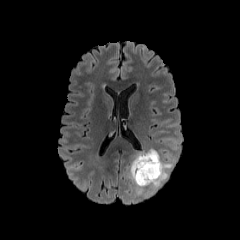
FLAIR MRI.
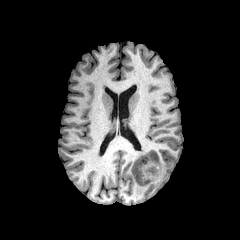
T1-weighted magnetic resonance.
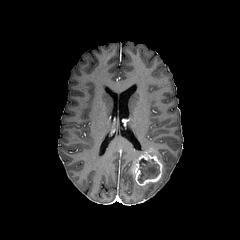
Same slice, post-contrast T1-weighted MR image.
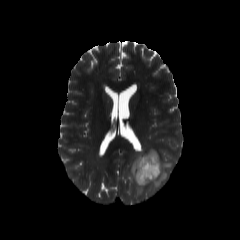
T2-weighted MR image.
Axial slice. Brain.
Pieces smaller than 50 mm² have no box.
peritumoral edema at 126,148,177,197
necrotic tumor core at 138,158,159,183
enhancing tumor at 132,151,163,185